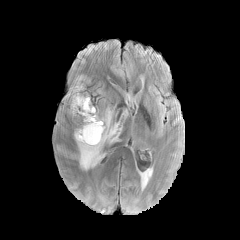
FLAIR MR image.
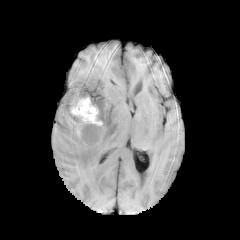
T1-weighted MR image.
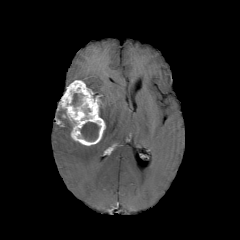
Post-contrast T1-weighted MR.
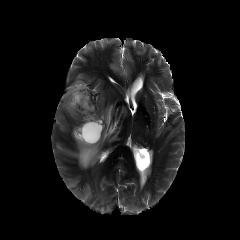
T2-weighted MR image of the same slice.
240x240 px; Brain
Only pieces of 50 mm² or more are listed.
enhancing tumor at 59 80 105 145
peritumoral edema at 73 107 121 169
necrotic tumor core at 72 93 80 106, 80 122 99 140